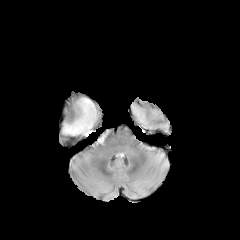
FLAIR magnetic resonance.
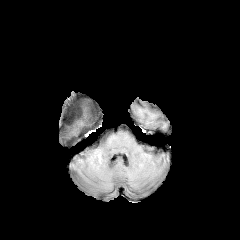
T1-weighted MR.
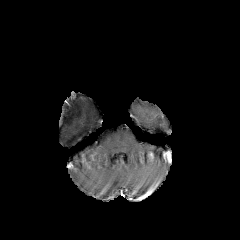
Same slice, post-contrast T1-weighted MR image.
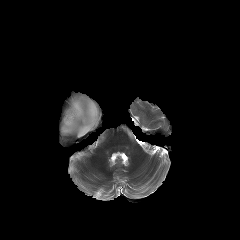
Same slice, T2-weighted MRI.
Axial view
The peritumoral edema lies within bbox(62, 97, 99, 135).